240x240
FLAIR MRI.
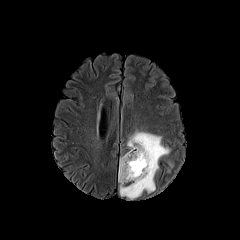
T1-weighted MR image.
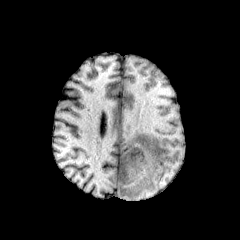
Post-contrast T1-weighted MR image.
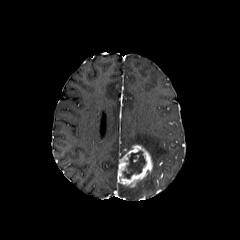
T2-weighted MR image.
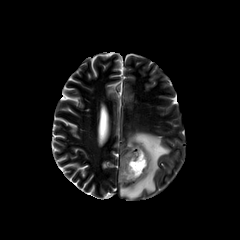
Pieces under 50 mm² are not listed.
peritumoral edema: bounding box rect(119, 131, 170, 199)
enhancing tumor: bounding box rect(118, 144, 153, 187)
necrotic tumor core: bounding box rect(123, 151, 145, 178)